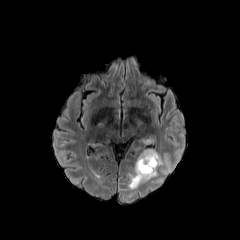
FLAIR MR image.
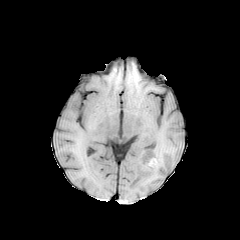
Same slice, T1-weighted MR.
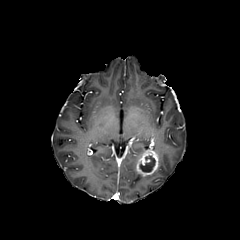
Post-contrast T1-weighted MRI.
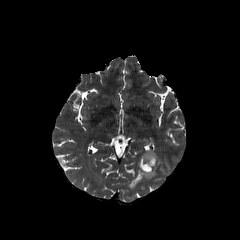
T2-weighted MR.
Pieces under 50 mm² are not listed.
The largest peritumoral edema region is at bbox(128, 163, 157, 189). The enhancing tumor appears at bbox(136, 149, 159, 176). The necrotic tumor core is bounded by bbox(140, 155, 155, 172).